Slice index 63. Axial plane. Image width 240 mm.
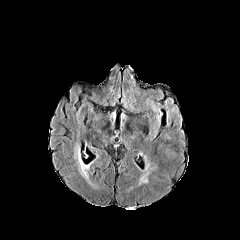
FLAIR MR image.
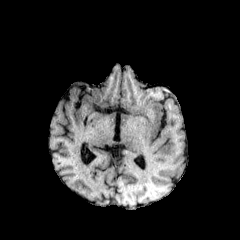
T1-weighted MRI of the same slice.
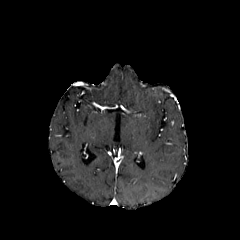
Same slice, post-contrast T1-weighted MRI.
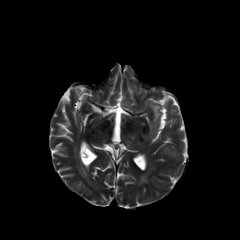
T2-weighted magnetic resonance.
Annotated regions:
* peritumoral edema: (162,145,178,160), (150,104,160,136)